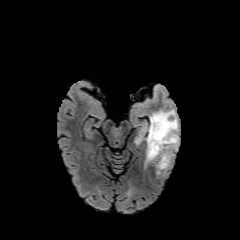
FLAIR MRI.
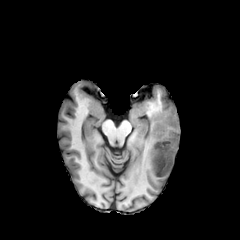
T1-weighted MR image.
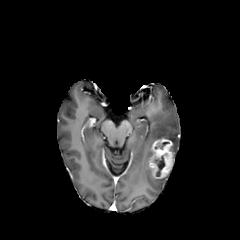
Same slice, post-contrast T1-weighted MR.
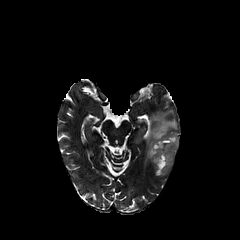
T2-weighted magnetic resonance.
Brain. 240x240 px.
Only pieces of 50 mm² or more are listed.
Annotated regions:
• peritumoral edema: (145, 109, 178, 165)
• enhancing tumor: (149, 138, 173, 177)
• necrotic tumor core: (154, 156, 164, 176)